Axial view
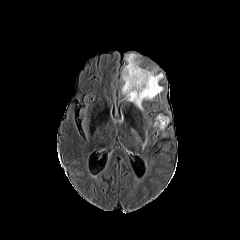
FLAIR MR image.
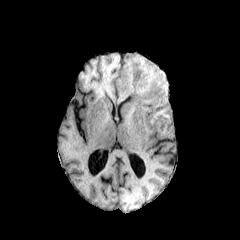
T1-weighted MR image.
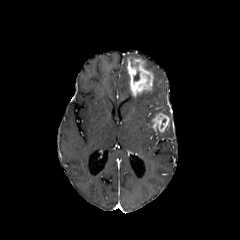
Post-contrast T1-weighted MR of the same slice.
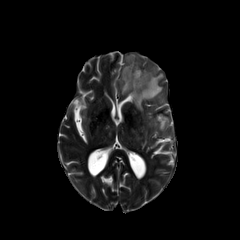
Same slice, T2-weighted MR image.
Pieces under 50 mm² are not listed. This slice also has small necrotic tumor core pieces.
Findings:
- peritumoral edema: (125, 53, 140, 62), (121, 65, 163, 110)
- enhancing tumor: (127, 57, 153, 97), (151, 113, 169, 132)